Slice 73/155, Head
FLAIR MR image.
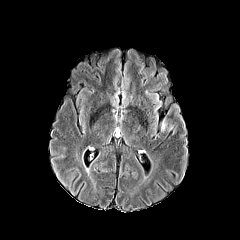
T1-weighted magnetic resonance.
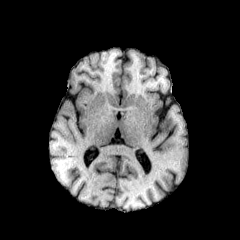
Post-contrast T1-weighted MRI.
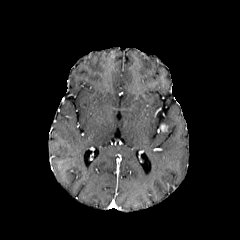
T2-weighted magnetic resonance.
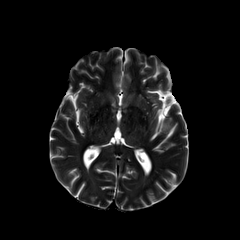
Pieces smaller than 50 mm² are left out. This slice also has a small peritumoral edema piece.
{
  "enhancing_tumor": [
    "x1=160, y1=124, x2=168, y2=132"
  ]
}